240x240 px. Brain.
FLAIR magnetic resonance.
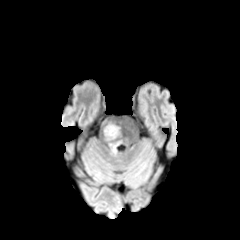
T1-weighted MRI.
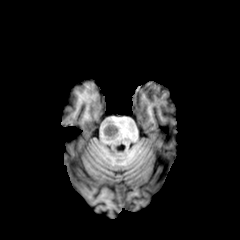
Post-contrast T1-weighted MR image.
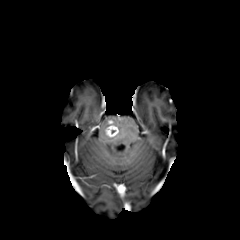
T2-weighted MRI.
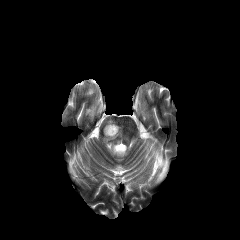
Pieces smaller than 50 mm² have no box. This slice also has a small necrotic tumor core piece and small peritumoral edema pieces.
Findings:
- enhancing tumor: bbox=[105, 120, 118, 137]